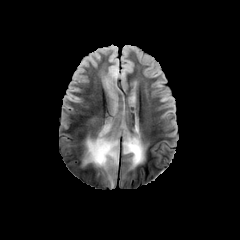
FLAIR MR.
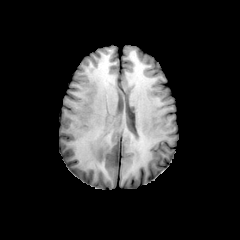
T1-weighted MRI.
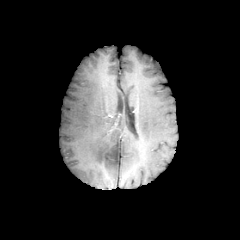
Post-contrast T1-weighted MR.
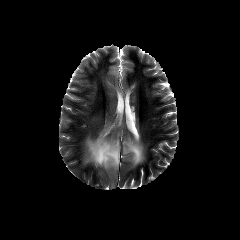
T2-weighted MRI.
Image size 240x240; Brain
2 peritumoral edema regions are located at <bbox>123, 136, 143, 166</bbox>, <bbox>84, 123, 118, 169</bbox>.